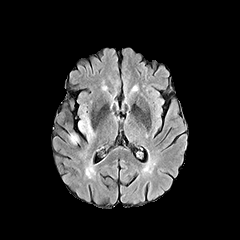
FLAIR MR.
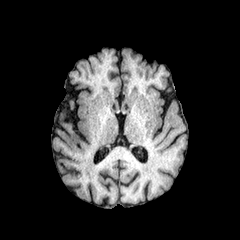
T1-weighted MR image.
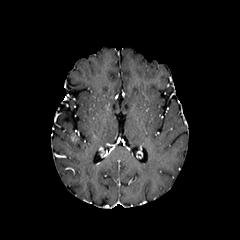
Post-contrast T1-weighted MR image of the same slice.
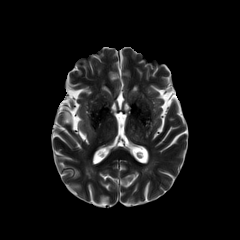
T2-weighted MRI.
240x240; Brain
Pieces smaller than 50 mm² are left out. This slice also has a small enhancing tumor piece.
{"peritumoral_edema": ["[79,114,94,139]"]}